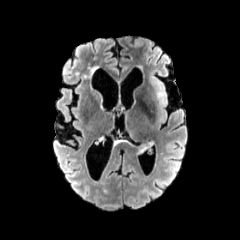
FLAIR MR.
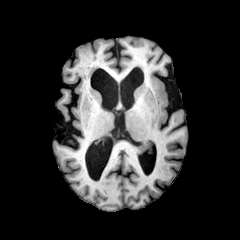
T1-weighted MRI of the same slice.
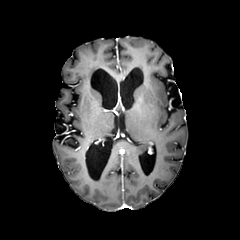
Post-contrast T1-weighted magnetic resonance.
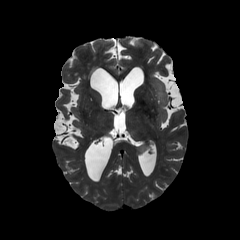
T2-weighted MR image.
Image size 240x240 | Axial slice
{
  "peritumoral_edema": [
    "(139,144,149,152)"
  ]
}